Image width 240 mm, 1.00 mm slice spacing, Slice 107/155, 240x240
FLAIR MRI.
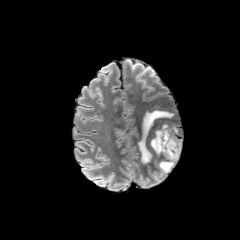
T1-weighted magnetic resonance.
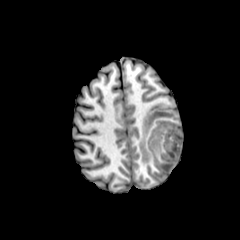
Post-contrast T1-weighted MRI.
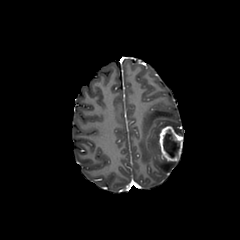
T2-weighted MRI.
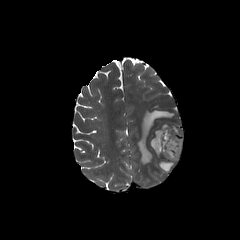
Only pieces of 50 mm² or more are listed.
- peritumoral edema: 158,158,176,172; 150,123,182,155; 138,109,174,163
- necrotic tumor core: 163,129,179,157
- enhancing tumor: 158,126,182,161